Image size 240x240, Slice 33 of 155
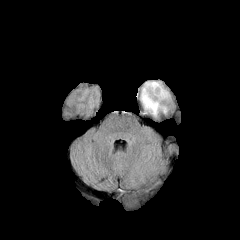
FLAIR magnetic resonance.
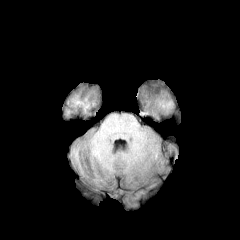
T1-weighted MRI.
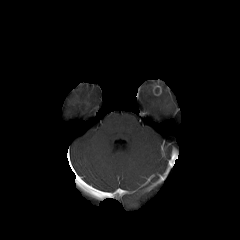
Same slice, post-contrast T1-weighted MR.
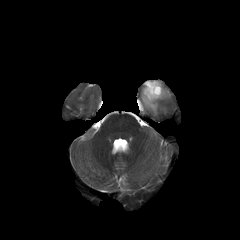
Same slice, T2-weighted MR.
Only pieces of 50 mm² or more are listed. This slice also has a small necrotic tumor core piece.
peritumoral edema: bounding box x1=140, y1=81, x2=169, y2=116
enhancing tumor: bounding box x1=151, y1=81, x2=161, y2=95